Head, Image width 240 mm, 1.00 mm slice spacing
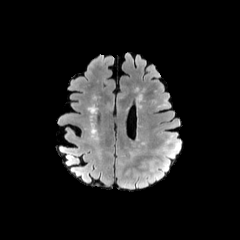
FLAIR magnetic resonance.
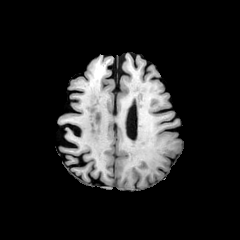
Same slice, T1-weighted MR.
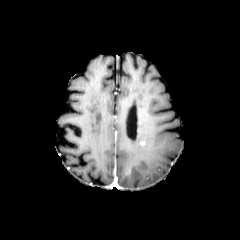
Post-contrast T1-weighted magnetic resonance.
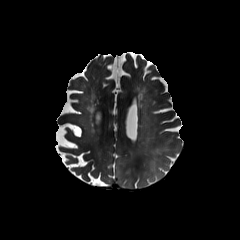
Same slice, T2-weighted magnetic resonance.
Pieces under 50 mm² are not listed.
{
  "peritumoral_edema": [
    "x1=118, y1=179, x2=147, y2=190"
  ]
}